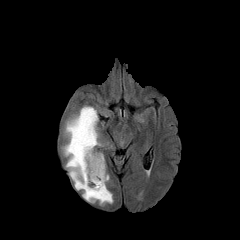
FLAIR MRI.
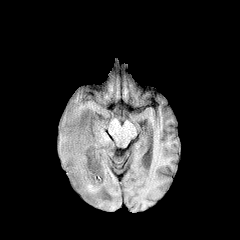
Same slice, T1-weighted MR.
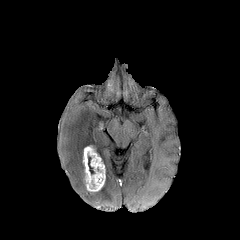
Post-contrast T1-weighted MRI.
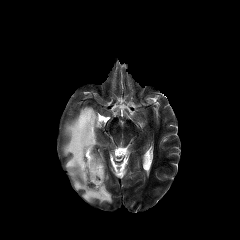
Same slice, T2-weighted magnetic resonance.
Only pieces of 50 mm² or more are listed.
{"peritumoral_edema": ["bbox=[62, 106, 113, 204]"], "necrotic_tumor_core": ["bbox=[88, 156, 94, 174]"], "enhancing_tumor": ["bbox=[82, 145, 105, 191]"]}